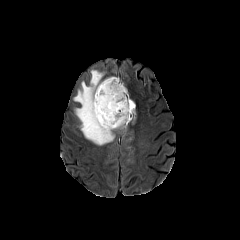
FLAIR MR image.
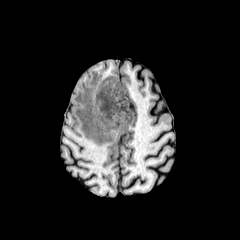
Same slice, T1-weighted magnetic resonance.
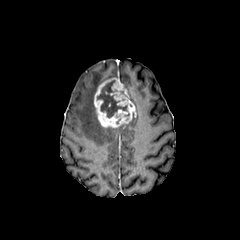
Same slice, post-contrast T1-weighted MRI.
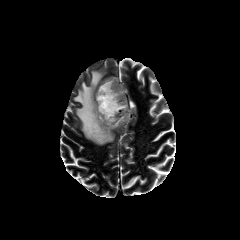
Same slice, T2-weighted magnetic resonance.
Brain. 240x240.
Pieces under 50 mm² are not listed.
The largest necrotic tumor core region appears at (97,80,127,117). The largest peritumoral edema region is bounded by (74,70,118,145). The largest enhancing tumor region appears at (94,77,134,127).